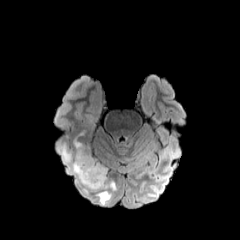
FLAIR MRI.
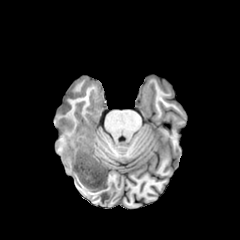
T1-weighted MR.
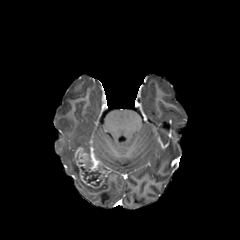
Post-contrast T1-weighted MR of the same slice.
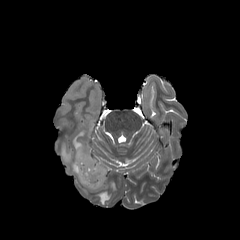
T2-weighted magnetic resonance.
Axial slice
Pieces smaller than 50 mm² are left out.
enhancing tumor — [75,147,107,188]
necrotic tumor core — [81,156,101,185]
peritumoral edema — [58,130,116,204]